FLAIR MR.
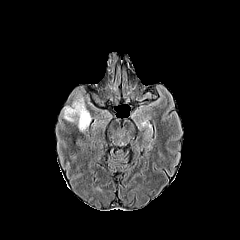
T1-weighted MRI.
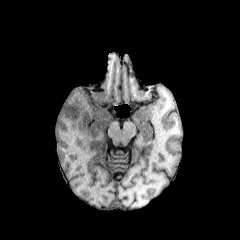
Post-contrast T1-weighted MR image.
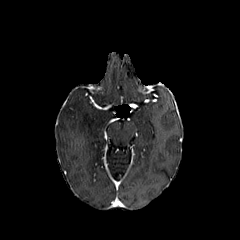
T2-weighted magnetic resonance.
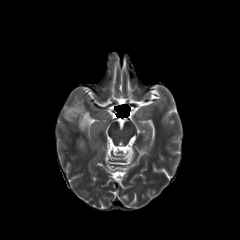
2 peritumoral edema regions are located at [x1=79, y1=137, x2=85, y2=151], [x1=64, y1=98, x2=91, y2=131].